Axial plane, Head
FLAIR MRI.
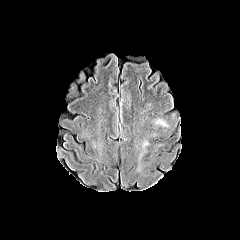
T1-weighted MR image.
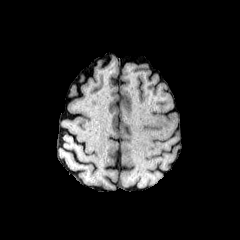
Post-contrast T1-weighted MR.
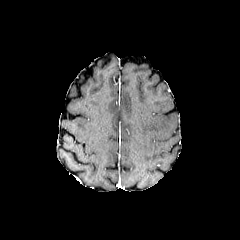
T2-weighted magnetic resonance.
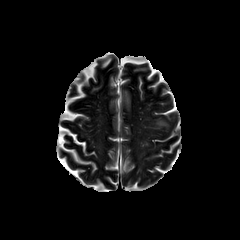
2 peritumoral edema regions are bounded by (138,135,149,158), (153,117,168,127).